Head. 240x240 px. Axial plane. Slice 112/155.
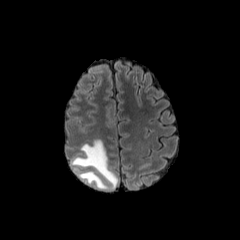
FLAIR magnetic resonance.
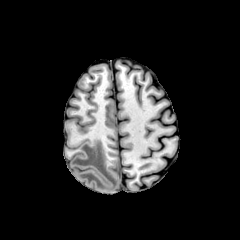
T1-weighted MRI.
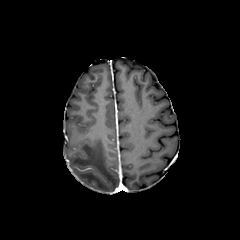
Same slice, post-contrast T1-weighted MR.
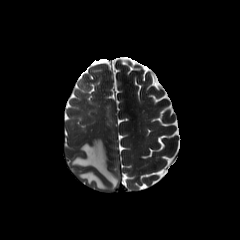
Same slice, T2-weighted MR.
peritumoral edema at x1=72 y1=139 x2=118 y2=190